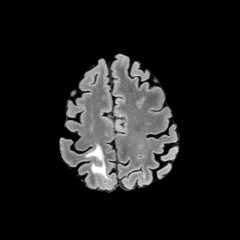
FLAIR magnetic resonance.
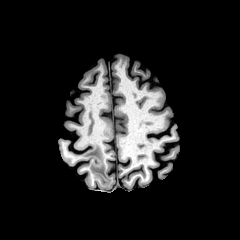
T1-weighted MRI.
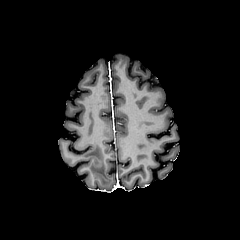
Post-contrast T1-weighted MR of the same slice.
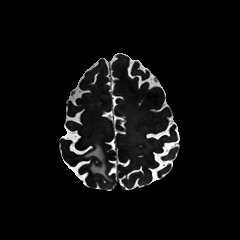
Same slice, T2-weighted MRI.
Image size 240x240
<segmentation>
  <peritumoral_edema>x1=85, y1=144, x2=109, y2=180</peritumoral_edema>
</segmentation>